Slice 99 of 155; Image size 240x240
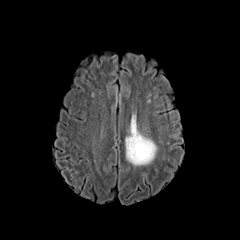
FLAIR magnetic resonance.
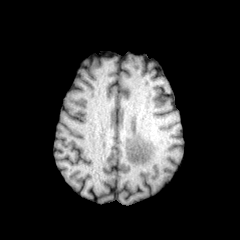
T1-weighted MR of the same slice.
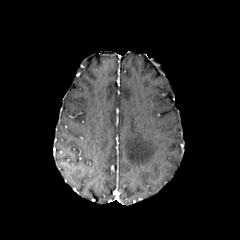
Post-contrast T1-weighted MR image.
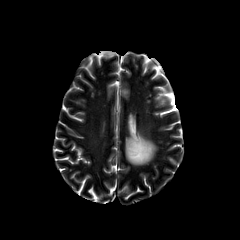
T2-weighted magnetic resonance.
peritumoral edema: left=125, top=114, right=157, bottom=165